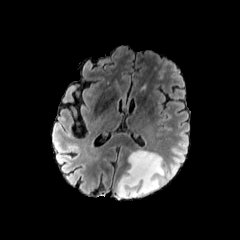
FLAIR MR.
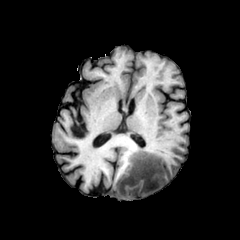
T1-weighted magnetic resonance.
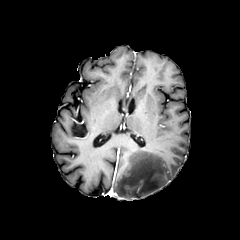
Post-contrast T1-weighted MR image.
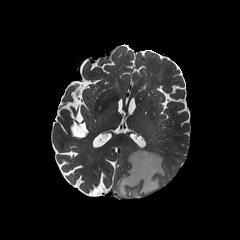
T2-weighted MRI of the same slice.
Brain
peritumoral edema = (left=116, top=145, right=165, bottom=198)